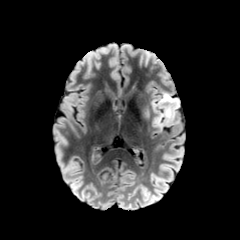
FLAIR MR.
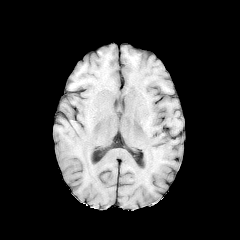
T1-weighted magnetic resonance of the same slice.
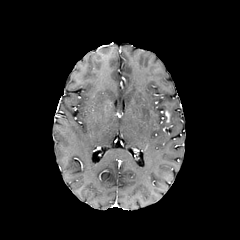
Post-contrast T1-weighted MR image of the same slice.
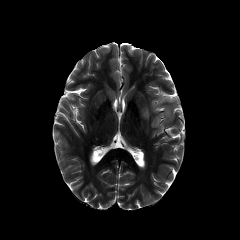
T2-weighted MR of the same slice.
240x240 px, Axial view
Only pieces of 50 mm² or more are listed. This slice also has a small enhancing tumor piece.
peritumoral edema: l=151, t=92, r=178, b=129